Head; Slice 53 of 155; Image width 240 mm; Axial slice
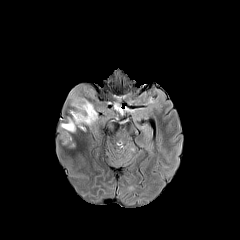
FLAIR magnetic resonance.
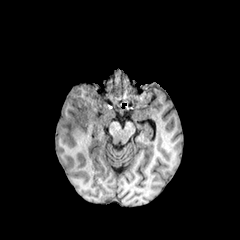
Same slice, T1-weighted MR image.
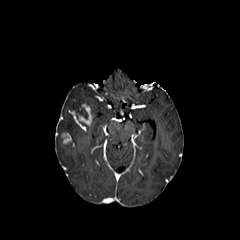
Post-contrast T1-weighted MR.
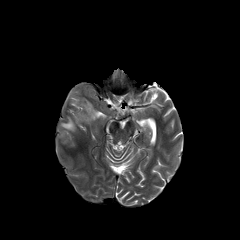
Same slice, T2-weighted MR.
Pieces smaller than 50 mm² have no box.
enhancing tumor at x1=61, y1=132, x2=71, y2=143; x1=70, y1=103, x2=93, y2=130
peritumoral edema at x1=69, y1=86, x2=97, y2=124; x1=61, y1=116, x2=76, y2=131